Axial view; Head; Slice 75 of 155
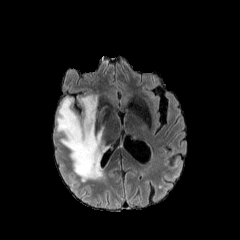
FLAIR magnetic resonance.
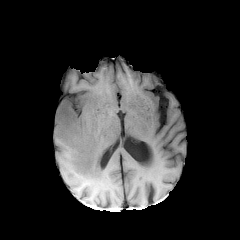
T1-weighted MR.
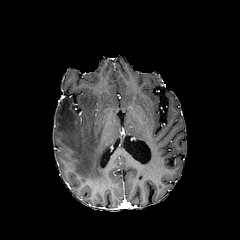
Post-contrast T1-weighted MRI.
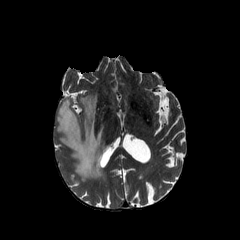
T2-weighted MRI.
The peritumoral edema is bounded by 57, 94, 108, 181.